Slice 56 of 155, Axial slice, Brain
FLAIR MR.
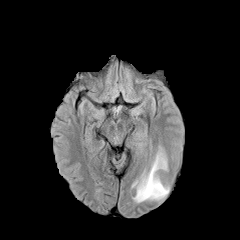
T1-weighted MRI.
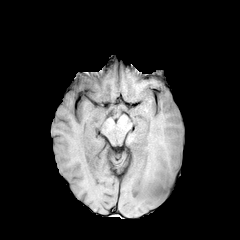
Post-contrast T1-weighted MR.
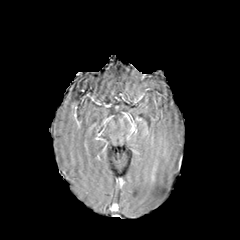
T2-weighted MR image.
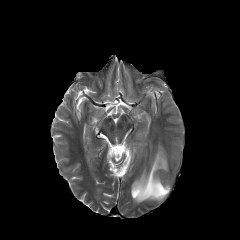
peritumoral edema = l=132, t=148, r=169, b=202